Axial slice; Slice 87/155
FLAIR magnetic resonance.
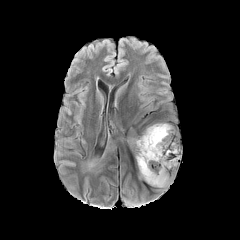
T1-weighted magnetic resonance.
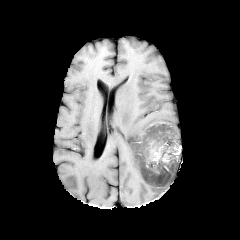
Post-contrast T1-weighted MR.
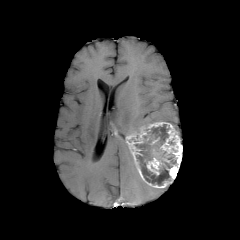
T2-weighted magnetic resonance.
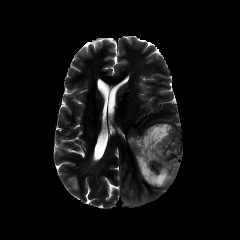
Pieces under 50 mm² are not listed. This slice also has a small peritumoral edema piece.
enhancing tumor: box(127, 122, 182, 188) | necrotic tumor core: box(167, 154, 176, 164); box(135, 124, 170, 185)